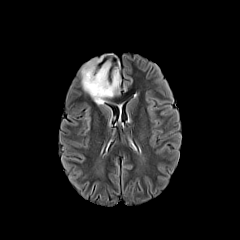
FLAIR MRI.
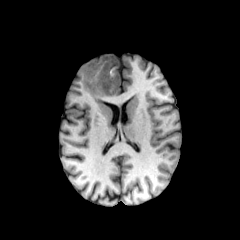
T1-weighted magnetic resonance.
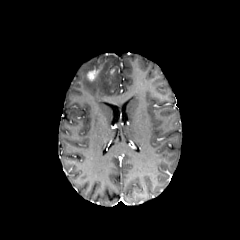
Post-contrast T1-weighted magnetic resonance.
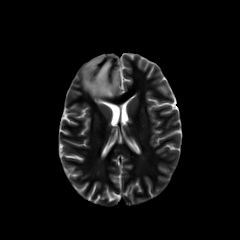
T2-weighted MR image.
Head
<segmentation>
  <peritumoral_edema>80, 55, 120, 105</peritumoral_edema>
  <enhancing_tumor>87, 69, 99, 80</enhancing_tumor>
</segmentation>